FLAIR MR image.
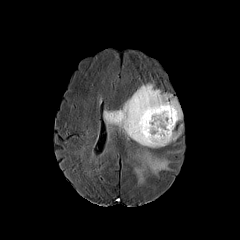
T1-weighted MR.
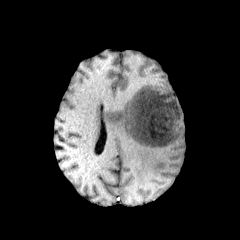
Post-contrast T1-weighted MRI.
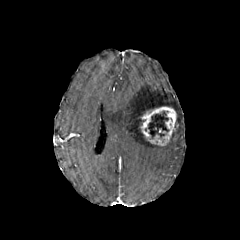
T2-weighted MRI.
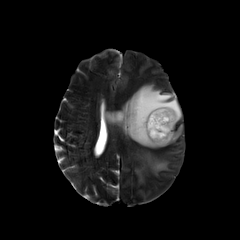
Brain | Axial slice | Image size 240x240
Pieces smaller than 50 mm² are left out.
• necrotic tumor core: rect(148, 111, 168, 138)
• enhancing tumor: rect(139, 106, 177, 146)
• peritumoral edema: rect(104, 83, 182, 183); rect(167, 124, 182, 144)